Image size 240x240, Slice 84/155, Axial plane
FLAIR MR.
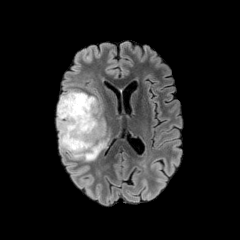
T1-weighted MRI.
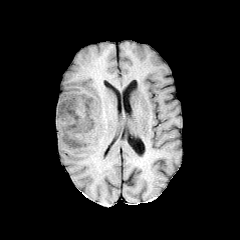
Post-contrast T1-weighted MRI.
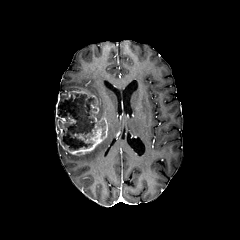
T2-weighted MRI.
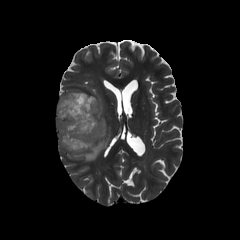
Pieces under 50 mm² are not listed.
enhancing tumor: (56, 90, 108, 155)
necrotic tumor core: (59, 94, 95, 150)
peritumoral edema: (68, 137, 108, 161)